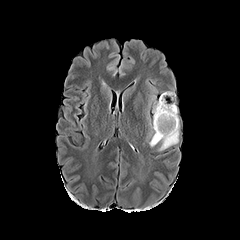
FLAIR MR image.
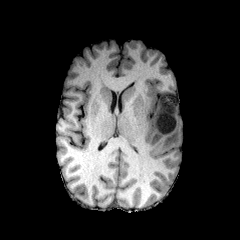
T1-weighted MRI.
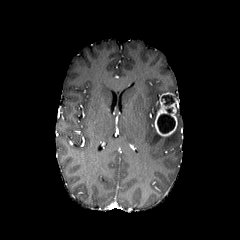
Post-contrast T1-weighted MR image.
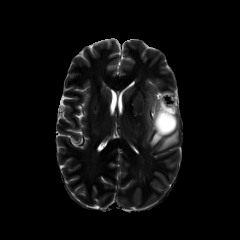
T2-weighted MRI of the same slice.
240x240 px
necrotic_tumor_core:
  - box(161, 95, 174, 105)
  - box(157, 107, 175, 133)
peritumoral_edema:
  - box(153, 102, 159, 123)
  - box(149, 106, 179, 150)
enhancing_tumor:
  - box(154, 92, 178, 136)